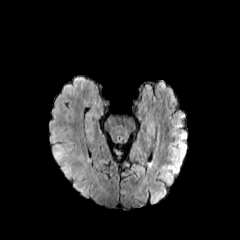
FLAIR magnetic resonance.
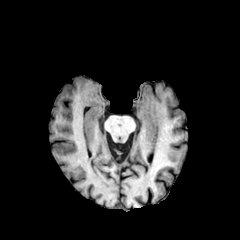
T1-weighted MR.
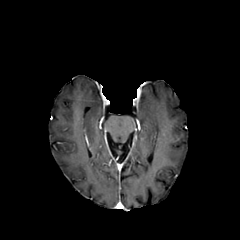
Same slice, post-contrast T1-weighted magnetic resonance.
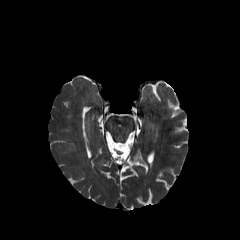
T2-weighted MRI.
Axial view, Brain
peritumoral edema: (left=53, top=141, right=90, bottom=196)